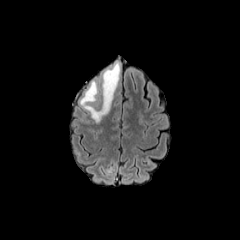
FLAIR MRI.
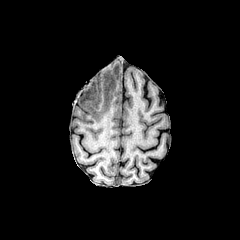
T1-weighted MRI.
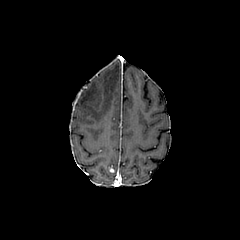
Post-contrast T1-weighted MR.
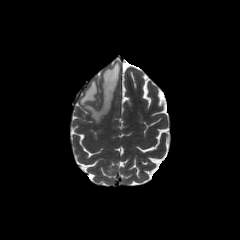
T2-weighted MRI of the same slice.
Brain
peritumoral edema: x1=80 y1=62 x2=120 y2=123